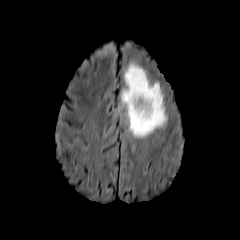
FLAIR magnetic resonance.
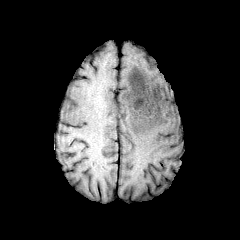
T1-weighted magnetic resonance.
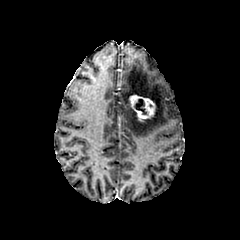
Same slice, post-contrast T1-weighted MR.
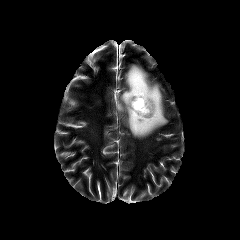
Same slice, T2-weighted magnetic resonance.
240x240 px. Axial plane.
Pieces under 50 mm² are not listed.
<segmentation>
  <necrotic_tumor_core>left=135, top=99, right=146, bottom=114</necrotic_tumor_core>
  <peritumoral_edema>left=118, top=63, right=167, bottom=137</peritumoral_edema>
  <enhancing_tumor>left=129, top=94, right=155, bottom=121</enhancing_tumor>
</segmentation>